FLAIR MR.
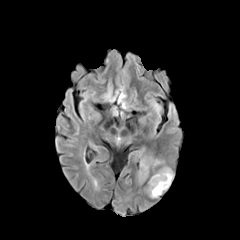
T1-weighted MR.
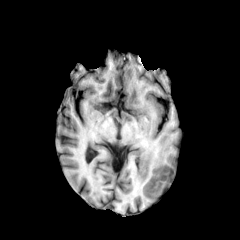
Post-contrast T1-weighted MRI.
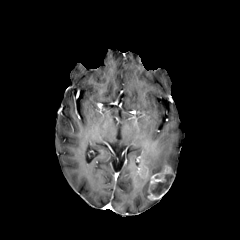
T2-weighted magnetic resonance.
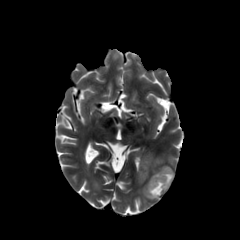
Axial plane; Head
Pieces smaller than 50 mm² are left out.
enhancing tumor at {"x1": 147, "y1": 165, "x2": 173, "y2": 199}, {"x1": 138, "y1": 165, "x2": 149, "y2": 180}
peritumoral edema at {"x1": 137, "y1": 171, "x2": 144, "y2": 182}, {"x1": 139, "y1": 154, "x2": 164, "y2": 173}
necrotic tumor core at {"x1": 152, "y1": 174, "x2": 173, "y2": 194}